FLAIR MRI.
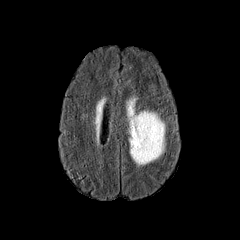
T1-weighted MR image.
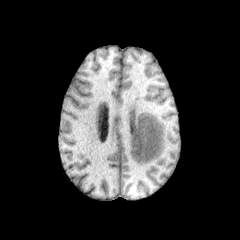
Post-contrast T1-weighted MR.
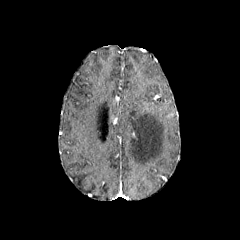
T2-weighted MR.
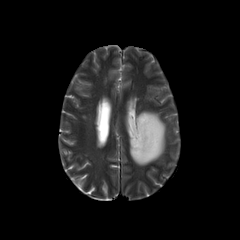
Image size 240x240.
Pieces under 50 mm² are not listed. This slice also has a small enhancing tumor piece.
<segmentation>
  <peritumoral_edema>rect(127, 98, 165, 165)</peritumoral_edema>
</segmentation>